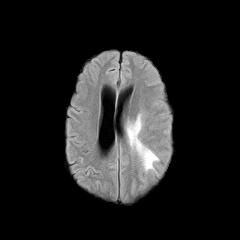
FLAIR MR.
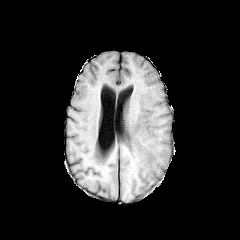
T1-weighted MRI of the same slice.
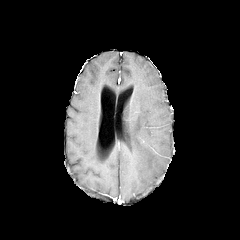
Post-contrast T1-weighted MR of the same slice.
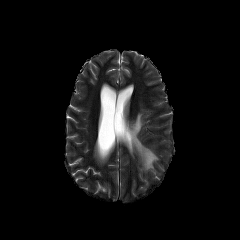
T2-weighted MR of the same slice.
Brain | Axial plane
peritumoral edema: <box>126,114,158,171</box>